FLAIR MR image.
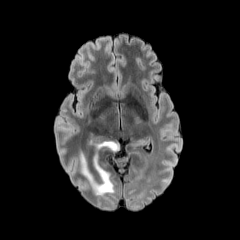
T1-weighted MR.
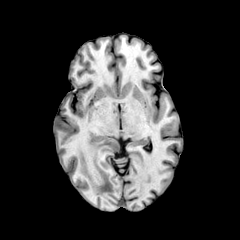
Post-contrast T1-weighted MR.
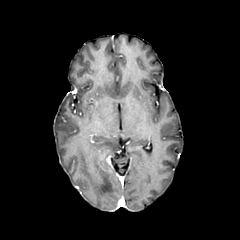
T2-weighted MRI.
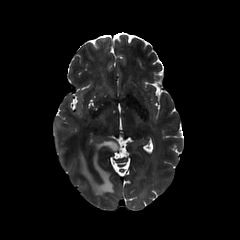
Image size 240x240
The peritumoral edema lies within left=80, top=141, right=119, bottom=196.